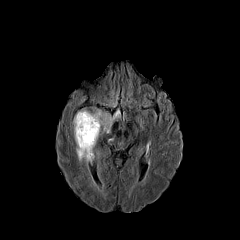
FLAIR MRI.
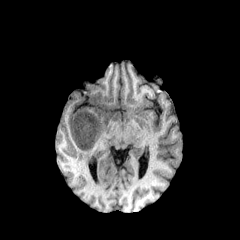
T1-weighted MR.
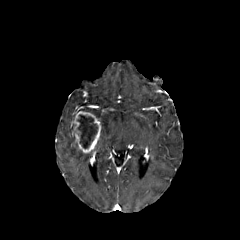
Post-contrast T1-weighted MR image.
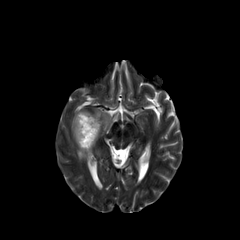
T2-weighted MR.
Axial view | 240x240 px | Brain
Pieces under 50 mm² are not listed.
The enhancing tumor lies within {"x1": 71, "y1": 111, "x2": 101, "y2": 153}. The 2 largest peritumoral edema regions are located at {"x1": 77, "y1": 145, "x2": 92, "y2": 161}, {"x1": 93, "y1": 110, "x2": 114, "y2": 133}. The necrotic tumor core appears at {"x1": 77, "y1": 114, "x2": 97, "y2": 148}.